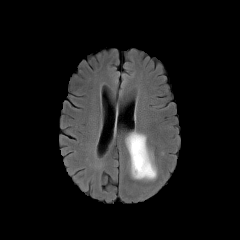
FLAIR MR image.
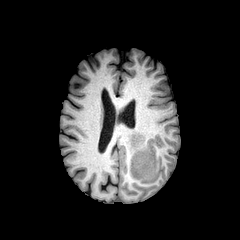
T1-weighted magnetic resonance of the same slice.
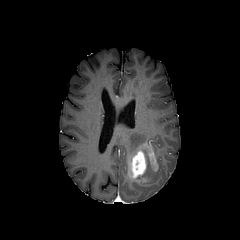
Post-contrast T1-weighted MRI.
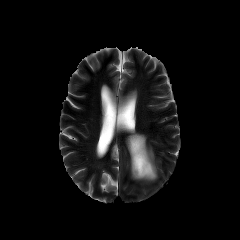
T2-weighted magnetic resonance.
Brain
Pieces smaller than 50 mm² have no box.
<segmentation>
  <enhancing_tumor>129, 144, 157, 178</enhancing_tumor>
  <peritumoral_edema>133, 159, 157, 180; 126, 131, 146, 161</peritumoral_edema>
</segmentation>